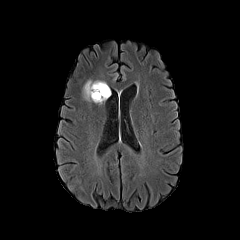
FLAIR MR image.
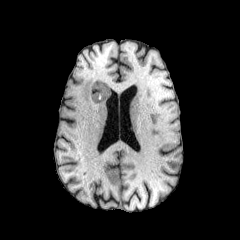
T1-weighted MR image.
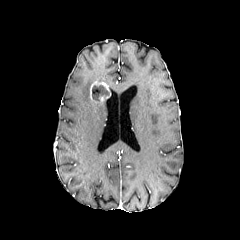
Post-contrast T1-weighted MR.
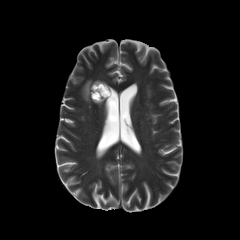
Same slice, T2-weighted MR.
Axial view; Brain
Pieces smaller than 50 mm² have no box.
<segmentation>
  <enhancing_tumor>90, 80, 110, 103</enhancing_tumor>
  <peritumoral_edema>82, 80, 92, 101</peritumoral_edema>
  <necrotic_tumor_core>92, 85, 109, 101</necrotic_tumor_core>
</segmentation>